FLAIR MR image.
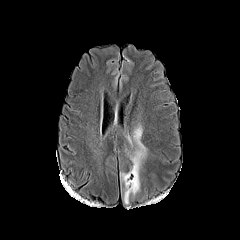
T1-weighted MR image.
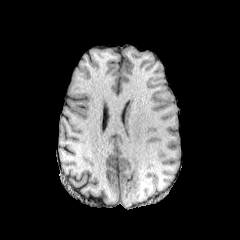
Post-contrast T1-weighted MRI.
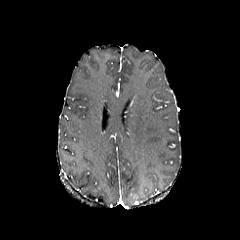
T2-weighted magnetic resonance.
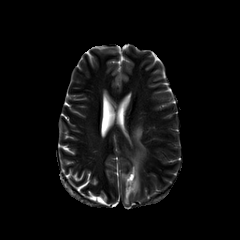
Axial slice | Head | 240x240
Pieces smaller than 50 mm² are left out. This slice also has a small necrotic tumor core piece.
enhancing tumor — (x1=126, y1=173, x2=135, y2=183)
peritumoral edema — (x1=121, y1=127, x2=145, y2=203)